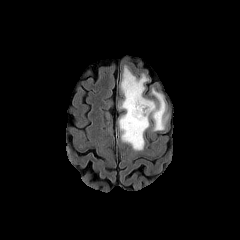
FLAIR MRI.
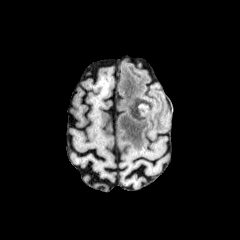
T1-weighted MRI.
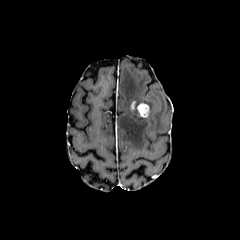
Post-contrast T1-weighted magnetic resonance of the same slice.
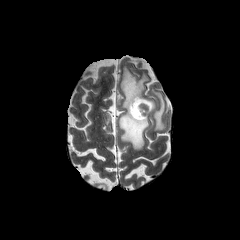
T2-weighted MRI of the same slice.
Brain. Axial slice.
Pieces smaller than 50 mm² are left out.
necrotic tumor core: box=[133, 101, 148, 116] | peritumoral edema: box=[119, 66, 166, 150] | enhancing tumor: box=[129, 101, 136, 112]